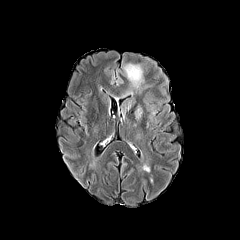
FLAIR MR.
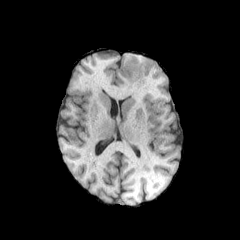
T1-weighted MR of the same slice.
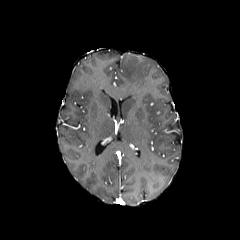
Post-contrast T1-weighted MR image.
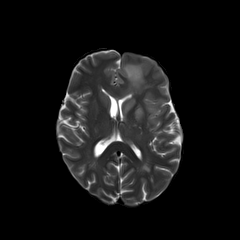
T2-weighted MR.
Head
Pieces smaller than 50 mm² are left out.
Segmented structures:
* peritumoral edema: bbox=[122, 63, 143, 88]; bbox=[134, 104, 143, 120]; bbox=[121, 98, 135, 115]